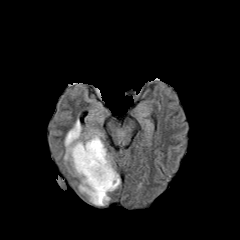
FLAIR MRI.
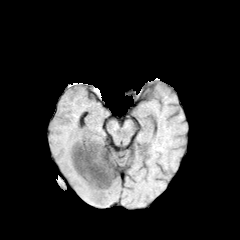
T1-weighted magnetic resonance.
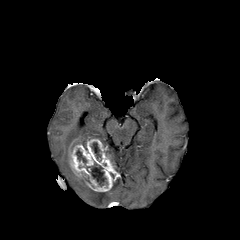
Same slice, post-contrast T1-weighted MR.
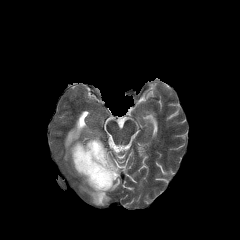
T2-weighted magnetic resonance.
240x240 | Brain
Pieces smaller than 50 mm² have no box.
<segmentation>
  <enhancing_tumor>69, 137, 119, 191</enhancing_tumor>
  <necrotic_tumor_core>90, 163, 106, 186; 91, 142, 100, 158; 76, 149, 86, 162</necrotic_tumor_core>
  <peritumoral_edema>108, 177, 120, 191; 79, 178, 110, 205; 64, 119, 104, 162</peritumoral_edema>
</segmentation>